Axial plane
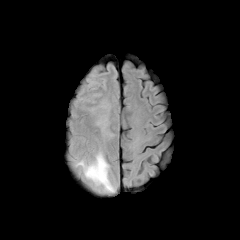
FLAIR MR image.
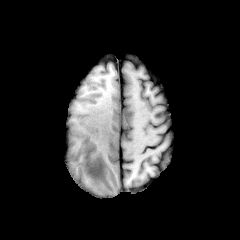
T1-weighted MRI.
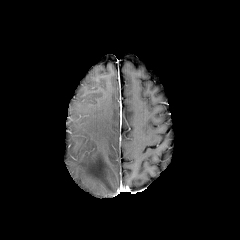
Post-contrast T1-weighted MRI of the same slice.
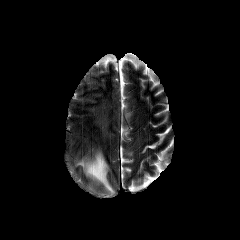
T2-weighted MR.
* peritumoral edema: 76:151:114:192